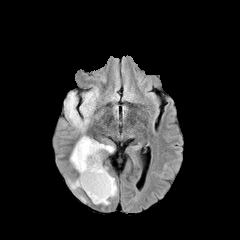
FLAIR MR.
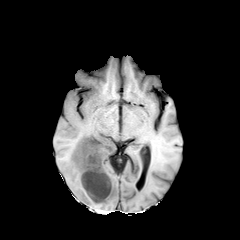
T1-weighted magnetic resonance.
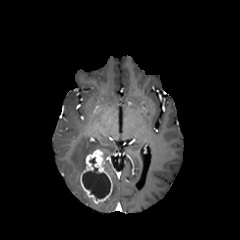
Post-contrast T1-weighted MR image of the same slice.
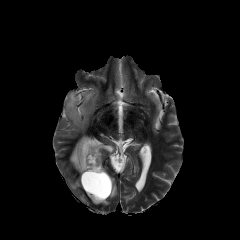
Same slice, T2-weighted MR.
Head; Image size 240x240
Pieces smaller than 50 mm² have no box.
necrotic tumor core: bbox(82, 167, 110, 199)
enhancing tumor: bbox(80, 149, 112, 203)
peritumoral edema: bbox(70, 177, 81, 189); bbox(70, 136, 114, 174); bbox(65, 91, 97, 130); bbox(109, 175, 117, 197)